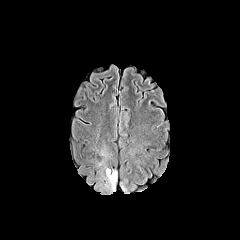
FLAIR MR.
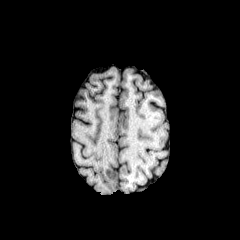
T1-weighted MRI.
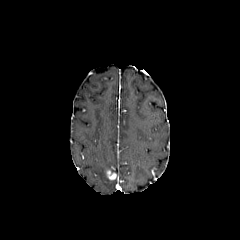
Post-contrast T1-weighted MR image.
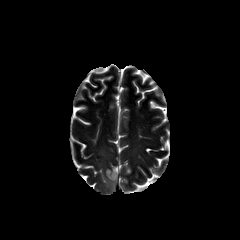
T2-weighted MR image.
Axial slice. 240x240. Head.
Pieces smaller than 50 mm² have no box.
Segmented structures:
• peritumoral edema: [105, 167, 116, 192], [99, 142, 111, 165]
• enhancing tumor: [106, 170, 116, 180]